FLAIR MR.
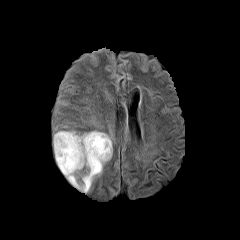
T1-weighted magnetic resonance.
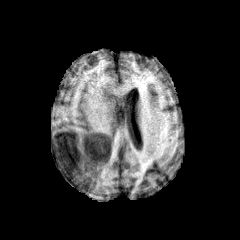
Post-contrast T1-weighted MR.
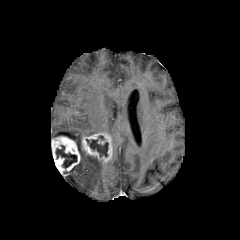
T2-weighted MR image.
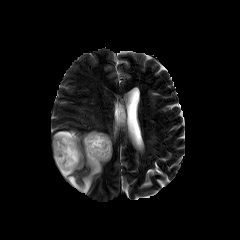
Head, Axial slice
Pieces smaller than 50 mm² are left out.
Annotated regions:
- necrotic tumor core: 56 145 76 168, 86 136 108 156
- peritumoral edema: 54 130 104 193
- enhancing tumor: 81 132 112 163, 51 136 80 175